FLAIR MR.
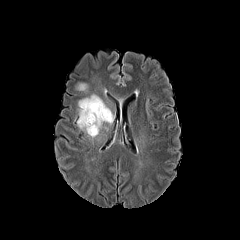
T1-weighted MR image.
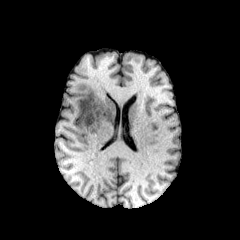
Post-contrast T1-weighted MR.
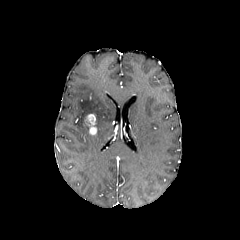
T2-weighted MR image.
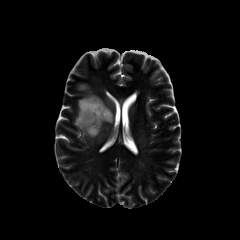
Brain; Axial plane; 240x240 px
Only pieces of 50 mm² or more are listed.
<segmentation>
  <peritumoral_edema>x1=77 y1=94 x2=114 y2=139, x1=77 y1=83 x2=87 y2=90</peritumoral_edema>
  <enhancing_tumor>x1=84 y1=114 x2=96 y2=134</enhancing_tumor>
</segmentation>